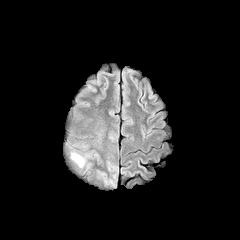
FLAIR MR image.
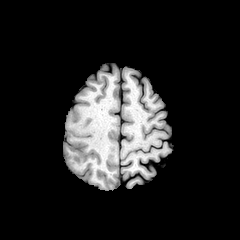
Same slice, T1-weighted MR.
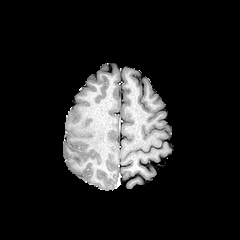
Same slice, post-contrast T1-weighted MRI.
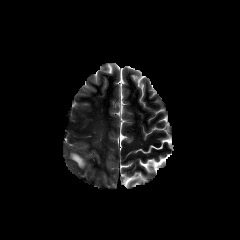
T2-weighted magnetic resonance of the same slice.
Image size 240x240; Head
<segmentation>
  <peritumoral_edema>[72,153,83,166]</peritumoral_edema>
</segmentation>